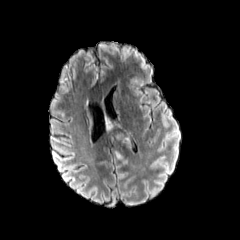
FLAIR MR image.
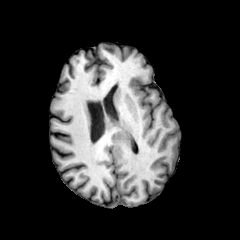
Same slice, T1-weighted MR.
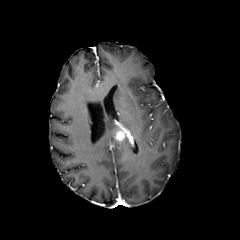
Post-contrast T1-weighted MR image of the same slice.
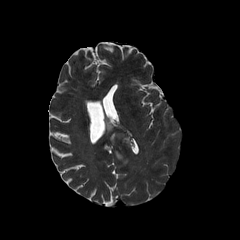
T2-weighted MR image.
240x240 px
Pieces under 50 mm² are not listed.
enhancing tumor at 115 126 132 142
peritumoral edema at 115 149 122 159